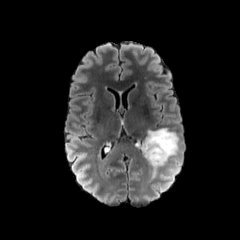
FLAIR magnetic resonance.
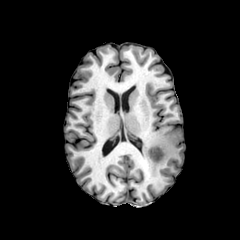
Same slice, T1-weighted MRI.
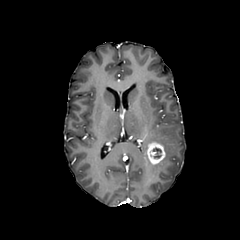
Post-contrast T1-weighted MR image.
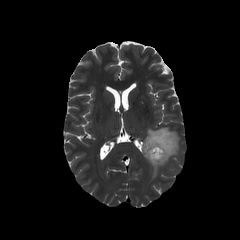
T2-weighted magnetic resonance.
Head
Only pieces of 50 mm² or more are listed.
enhancing tumor = bbox(146, 142, 165, 164)
peritumoral edema = bbox(143, 127, 179, 174)
necrotic tumor core = bbox(153, 148, 161, 158)